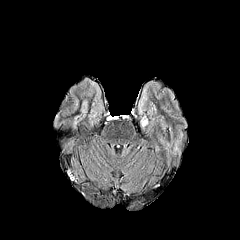
FLAIR MRI.
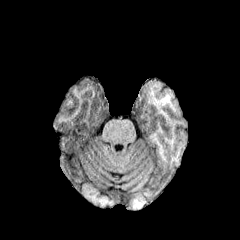
Same slice, T1-weighted MR image.
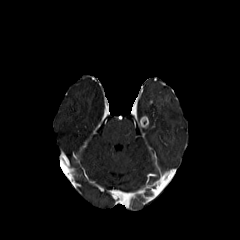
Post-contrast T1-weighted MRI of the same slice.
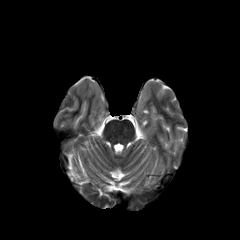
T2-weighted MR image of the same slice.
Axial view
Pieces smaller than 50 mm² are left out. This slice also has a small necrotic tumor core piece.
<segmentation>
  <enhancing_tumor>x1=139, y1=116, x2=148, y2=128</enhancing_tumor>
</segmentation>